Image size 240x240
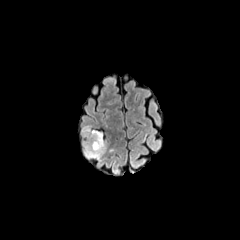
FLAIR MRI.
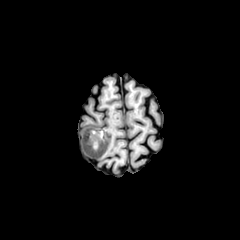
T1-weighted MRI.
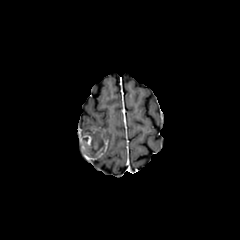
Same slice, post-contrast T1-weighted MR image.
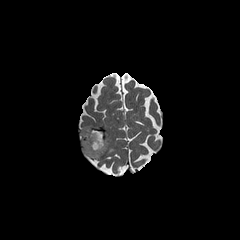
T2-weighted magnetic resonance.
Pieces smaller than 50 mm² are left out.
The largest peritumoral edema region is bounded by (x1=81, y1=125, x2=93, y2=137). The necrotic tumor core is bounded by (x1=89, y1=132, x2=104, y2=155). The largest enhancing tumor region is located at (x1=83, y1=130, x2=107, y2=158).